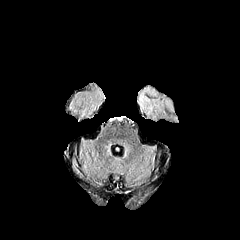
FLAIR MRI.
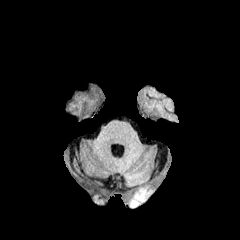
T1-weighted MR image.
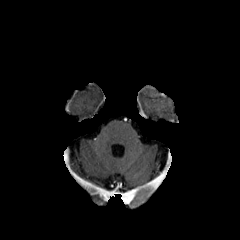
Post-contrast T1-weighted magnetic resonance.
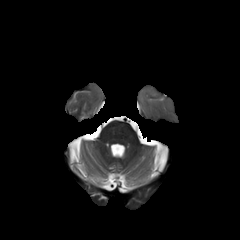
Same slice, T2-weighted magnetic resonance.
peritumoral edema = (x1=140, y1=89, x2=162, y2=109)